FLAIR MR.
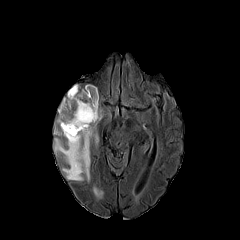
T1-weighted MR.
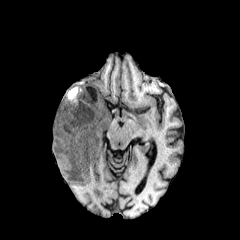
Post-contrast T1-weighted magnetic resonance.
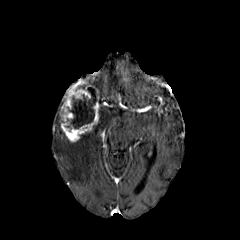
T2-weighted MR.
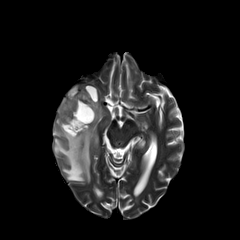
Head. Axial view. Image size 240x240.
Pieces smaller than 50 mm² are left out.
The enhancing tumor is at [59, 83, 99, 142]. The largest peritumoral edema region is located at [53, 116, 98, 182]. The largest necrotic tumor core region is at [69, 87, 96, 128].